Image width 240 mm, 1.00 mm slice spacing.
FLAIR MRI.
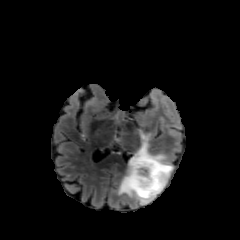
T1-weighted MRI.
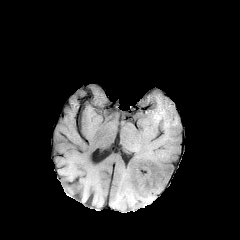
Post-contrast T1-weighted MR image.
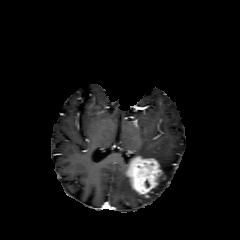
T2-weighted magnetic resonance.
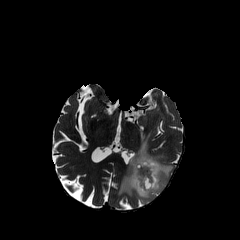
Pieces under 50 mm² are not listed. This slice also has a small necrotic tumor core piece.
The enhancing tumor is located at rect(126, 156, 162, 197). The peritumoral edema is at rect(118, 134, 173, 203).